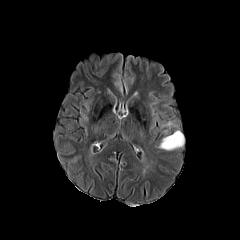
FLAIR MR image.
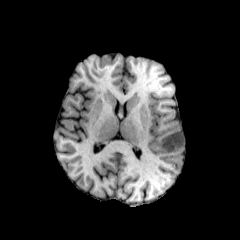
T1-weighted MR image of the same slice.
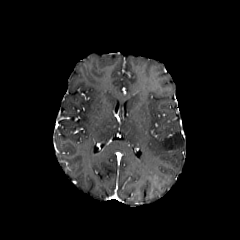
Post-contrast T1-weighted MR.
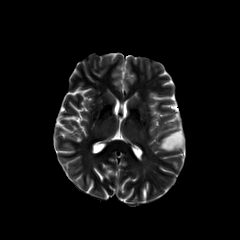
T2-weighted MR.
Brain; Axial plane
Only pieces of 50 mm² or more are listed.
The 2 largest peritumoral edema regions appear at l=159, t=130, r=184, b=150; l=161, t=122, r=179, b=128.